Axial slice | Head
FLAIR MR.
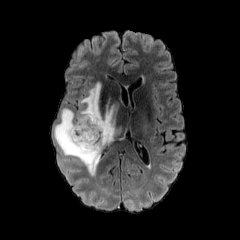
T1-weighted MRI.
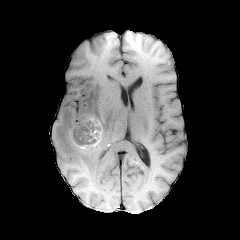
Post-contrast T1-weighted magnetic resonance.
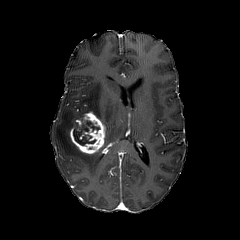
T2-weighted magnetic resonance.
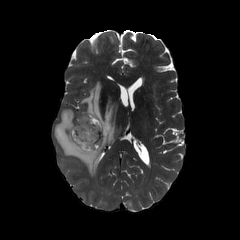
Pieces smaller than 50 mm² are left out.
The largest enhancing tumor region is bounded by [x1=70, y1=112, x2=106, y2=154]. The largest necrotic tumor core region is bounded by [x1=73, y1=120, x2=100, y2=145]. The peritumoral edema is at [x1=53, y1=81, x2=127, y2=175].